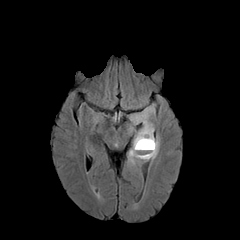
FLAIR MR.
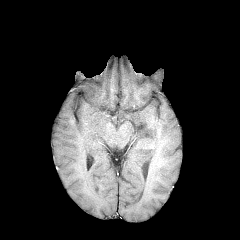
T1-weighted MR image of the same slice.
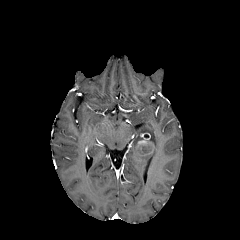
Post-contrast T1-weighted MR.
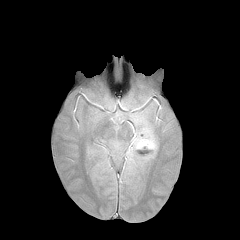
Same slice, T2-weighted MR image.
Image size 240x240. Axial view.
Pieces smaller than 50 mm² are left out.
necrotic tumor core: bounding box rect(136, 144, 153, 154)
peritumoral edema: bounding box rect(128, 104, 159, 164)
enhancing tumor: bounding box rect(134, 130, 155, 150)